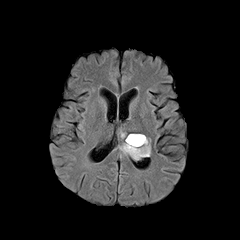
FLAIR MRI.
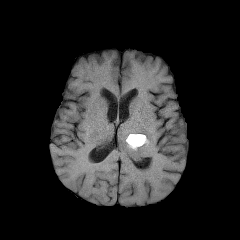
Same slice, T1-weighted MR image.
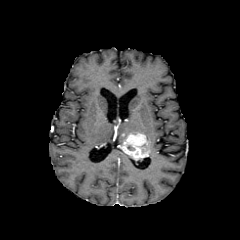
Post-contrast T1-weighted MR.
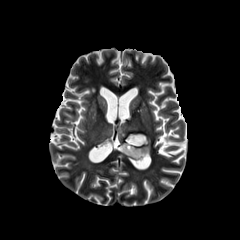
Same slice, T2-weighted MR.
240x240. Brain.
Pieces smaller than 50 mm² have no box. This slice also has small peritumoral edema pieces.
Annotated regions:
- enhancing tumor: (119,139,150,160)